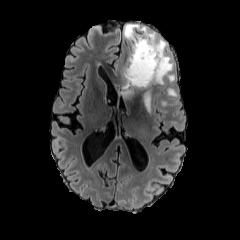
FLAIR MRI.
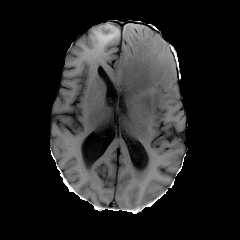
T1-weighted magnetic resonance of the same slice.
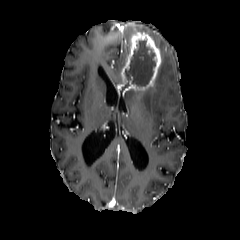
Same slice, post-contrast T1-weighted MRI.
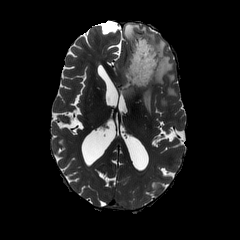
T2-weighted magnetic resonance of the same slice.
Head.
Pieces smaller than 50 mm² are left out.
Segmented structures:
- enhancing tumor: box=[121, 28, 162, 91]
- peritumoral edema: box=[166, 87, 176, 96]; box=[123, 23, 175, 84]; box=[124, 91, 135, 98]; box=[160, 98, 167, 106]; box=[143, 87, 151, 116]
- necrotic tumor core: box=[125, 40, 155, 86]